Axial view, Slice 76/155, Head
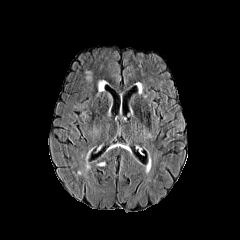
FLAIR magnetic resonance.
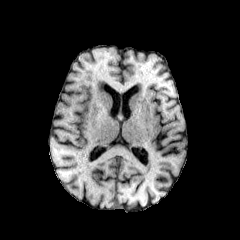
Same slice, T1-weighted MRI.
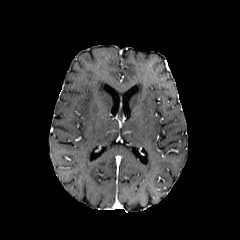
Same slice, post-contrast T1-weighted magnetic resonance.
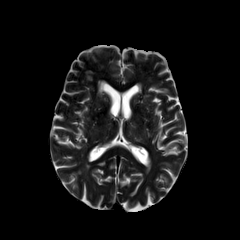
T2-weighted magnetic resonance.
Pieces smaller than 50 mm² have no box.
<segmentation>
  <peritumoral_edema>(x1=98, y1=81, x2=106, y2=92)</peritumoral_edema>
</segmentation>